Axial slice. Slice 95/155.
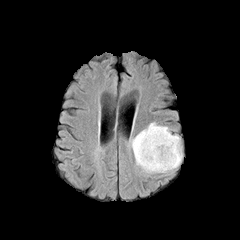
FLAIR MRI.
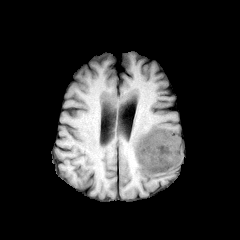
Same slice, T1-weighted MR.
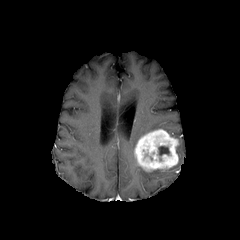
Post-contrast T1-weighted magnetic resonance.
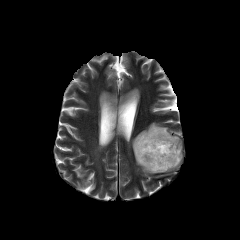
T2-weighted MRI.
Segmented structures:
- peritumoral edema: rect(131, 123, 182, 173)
- enhancing tumor: rect(134, 129, 179, 171)
- necrotic tumor core: rect(158, 146, 169, 155)